Slice 85 of 155; Head; Axial view
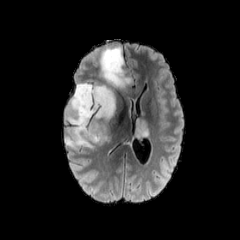
FLAIR MRI.
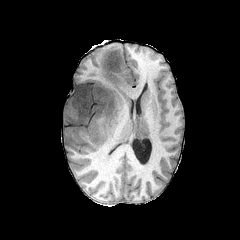
T1-weighted MR.
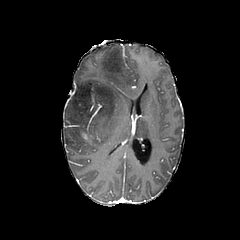
Post-contrast T1-weighted MR image.
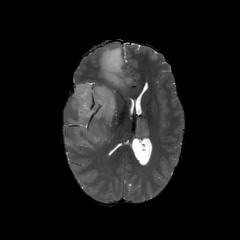
Same slice, T2-weighted magnetic resonance.
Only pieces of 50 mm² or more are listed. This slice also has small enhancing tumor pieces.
3 peritumoral edema regions are located at 98 46 140 99, 131 117 150 139, 64 80 117 151.